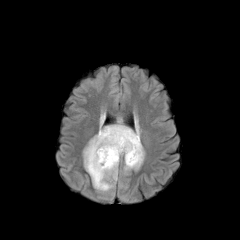
FLAIR MRI.
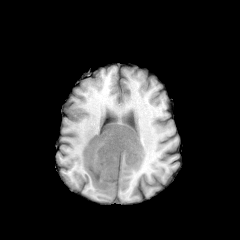
T1-weighted MR.
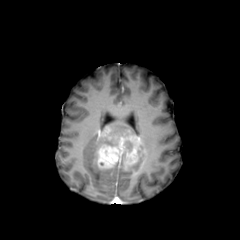
Post-contrast T1-weighted MR.
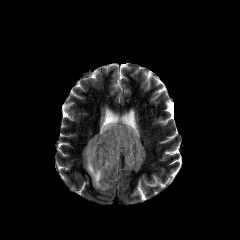
T2-weighted MR.
240x240 px
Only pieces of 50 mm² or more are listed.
necrotic tumor core: bounding box bbox(125, 141, 132, 151)
enhancing tumor: bounding box bbox(97, 127, 140, 169)
peritumoral edema: bounding box bbox(109, 118, 139, 136); bbox(83, 134, 118, 192); bbox(124, 143, 145, 171)